Image width 240 mm. Head. Axial slice.
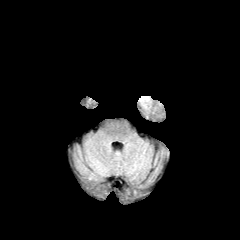
FLAIR magnetic resonance.
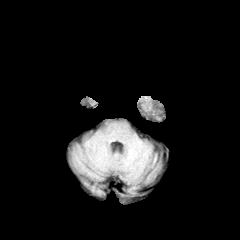
T1-weighted MRI of the same slice.
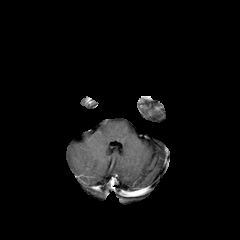
Same slice, post-contrast T1-weighted MR image.
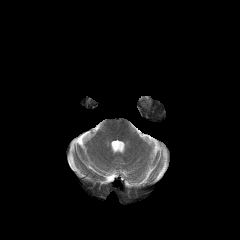
T2-weighted MR image.
peritumoral edema: 137, 97, 153, 118